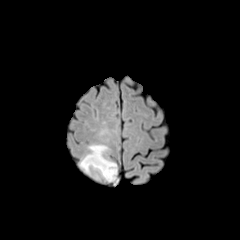
FLAIR MRI.
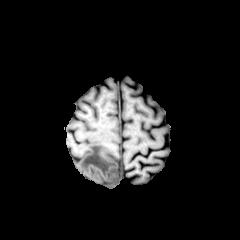
Same slice, T1-weighted MRI.
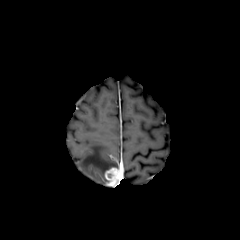
Post-contrast T1-weighted MR image.
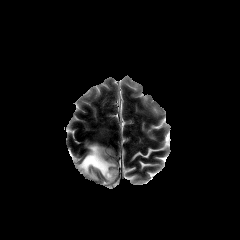
T2-weighted MR image.
240x240.
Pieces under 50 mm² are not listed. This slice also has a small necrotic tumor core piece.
enhancing_tumor:
  - x1=105, y1=167, x2=119, y2=185
peritumoral_edema:
  - x1=80, y1=145, x2=116, y2=177